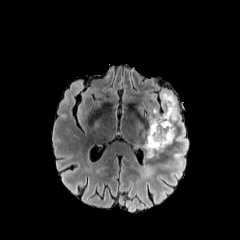
FLAIR MRI.
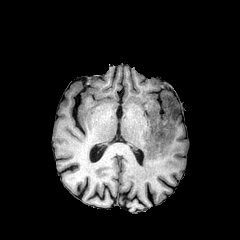
T1-weighted MR image.
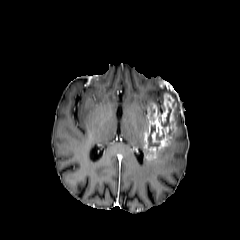
Post-contrast T1-weighted MR.
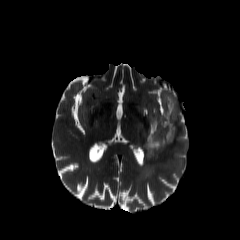
Same slice, T2-weighted MR.
240x240
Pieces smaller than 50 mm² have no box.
{"peritumoral_edema": ["<box>145,87,189,171</box>"], "necrotic_tumor_core": ["<box>148,125,159,147</box>", "<box>161,108,171,127</box>"], "enhancing_tumor": ["<box>143,93,176,159</box>"]}